Brain, Image covers 240 mm x 240 mm
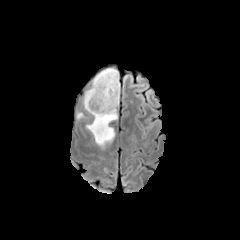
FLAIR MRI.
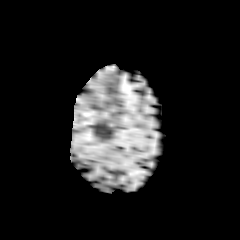
T1-weighted MR.
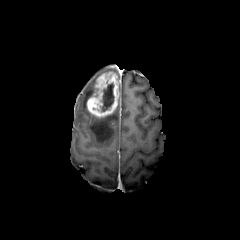
Post-contrast T1-weighted MR of the same slice.
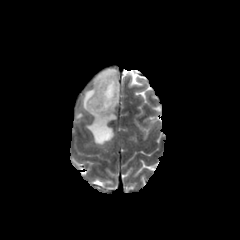
T2-weighted MR.
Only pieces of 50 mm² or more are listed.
The enhancing tumor lies within x1=87 y1=72 x2=119 y2=117. The 3 largest peritumoral edema regions appear at x1=94 y1=68 x2=117 y2=85, x1=83 y1=87 x2=96 y2=109, x1=87 y1=110 x2=117 y2=146. The largest necrotic tumor core region is bounded by x1=101 y1=83 x2=113 y2=111.